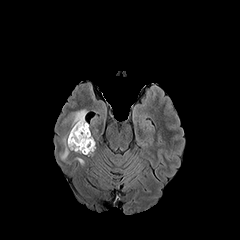
FLAIR MR image.
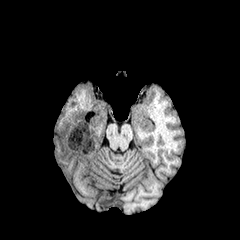
Same slice, T1-weighted MR.
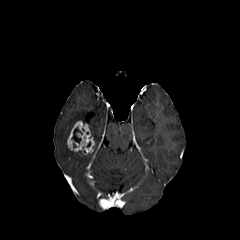
Post-contrast T1-weighted MRI.
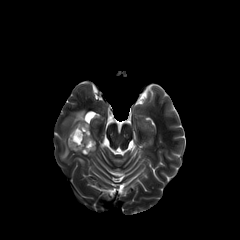
T2-weighted magnetic resonance of the same slice.
Head | Axial view
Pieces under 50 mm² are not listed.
enhancing tumor at {"x1": 67, "y1": 121, "x2": 94, "y2": 154}
peritumoral edema at {"x1": 60, "y1": 109, "x2": 86, "y2": 161}
necrotic tumor core at {"x1": 72, "y1": 127, "x2": 82, "y2": 143}